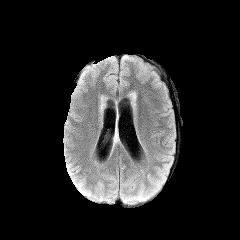
FLAIR magnetic resonance.
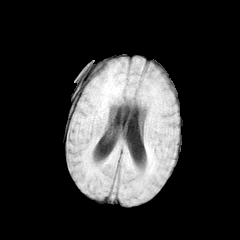
T1-weighted MRI.
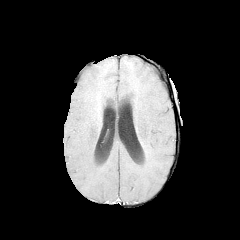
Post-contrast T1-weighted MR.
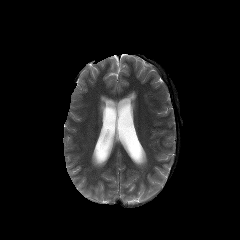
Same slice, T2-weighted MRI.
Axial plane. Head.
{"peritumoral_edema": ["left=114, top=129, right=119, bottom=145"]}